FLAIR MR image.
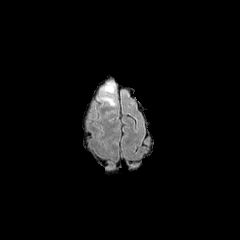
T1-weighted MR.
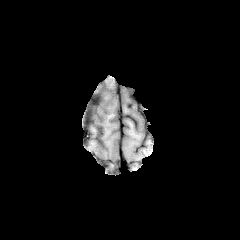
Post-contrast T1-weighted MR.
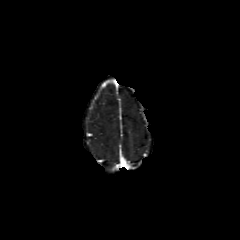
T2-weighted MRI.
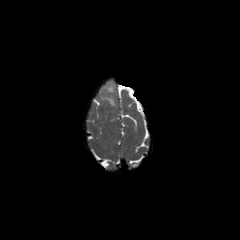
Axial plane. Head. 240x240 px.
peritumoral edema: box(102, 83, 114, 93); box(99, 97, 115, 105)